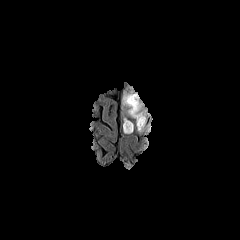
FLAIR MR image.
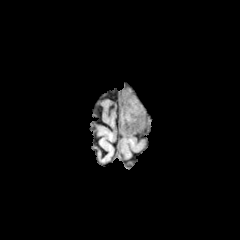
Same slice, T1-weighted magnetic resonance.
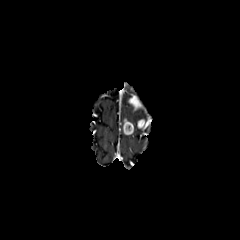
Post-contrast T1-weighted magnetic resonance.
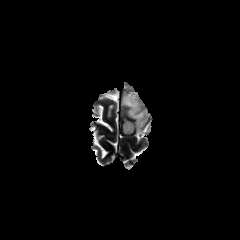
T2-weighted MR.
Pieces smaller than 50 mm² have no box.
<segmentation>
  <enhancing_tumor>bbox=[137, 119, 146, 129]; bbox=[128, 94, 142, 110]; bbox=[123, 119, 133, 134]</enhancing_tumor>
  <peritumoral_edema>bbox=[122, 92, 147, 124]</peritumoral_edema>
</segmentation>